FLAIR MRI.
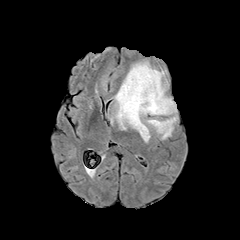
T1-weighted MR.
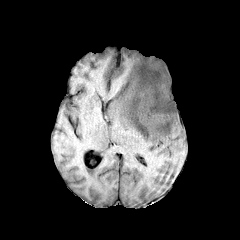
Post-contrast T1-weighted MR.
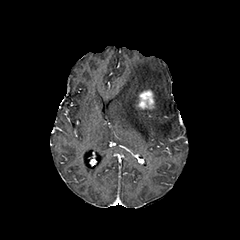
T2-weighted magnetic resonance.
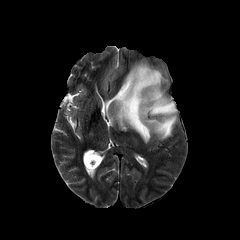
Axial view, 240x240 px, Brain
enhancing tumor: l=136, t=89, r=154, b=109
peritumoral edema: l=110, t=61, r=177, b=142